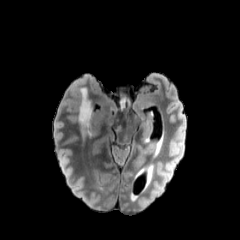
FLAIR MR.
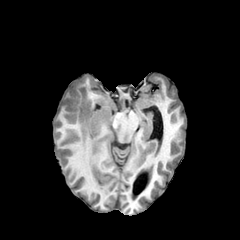
T1-weighted MRI.
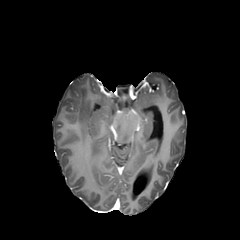
Post-contrast T1-weighted magnetic resonance.
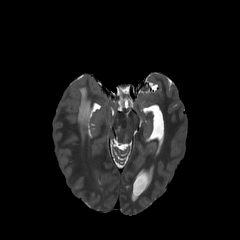
Same slice, T2-weighted MRI.
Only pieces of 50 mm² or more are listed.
{
  "peritumoral_edema": [
    "[120, 98, 125, 109]",
    "[77, 87, 90, 125]"
  ]
}